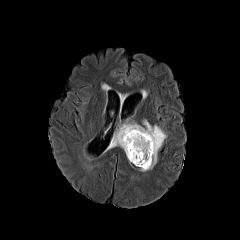
FLAIR MRI.
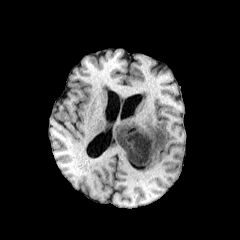
T1-weighted magnetic resonance of the same slice.
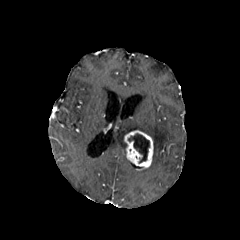
Post-contrast T1-weighted MR image.
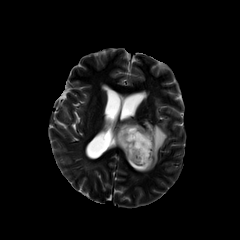
T2-weighted MR image.
Axial plane | Head
The enhancing tumor appears at l=124, t=130, r=153, b=168. The peritumoral edema is located at l=109, t=120, r=166, b=171. The necrotic tumor core lies within l=128, t=133, r=149, b=163.